FLAIR MR image.
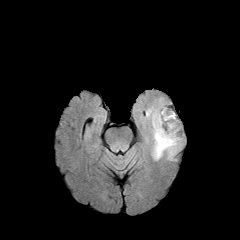
T1-weighted magnetic resonance.
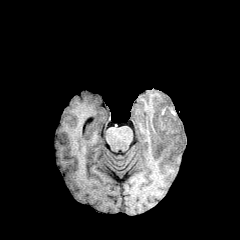
Post-contrast T1-weighted MR image.
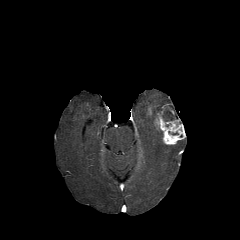
T2-weighted magnetic resonance.
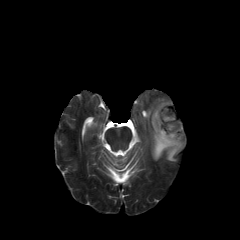
Axial view
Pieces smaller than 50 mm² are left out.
The largest peritumoral edema region is at bbox(145, 98, 183, 160). The enhancing tumor is located at bbox(154, 103, 185, 144). The largest necrotic tumor core region appears at bbox(162, 108, 177, 121).